240x240 px, Axial plane, Slice 99 of 155, Image width 240 mm, 1.00 mm slice spacing, Brain
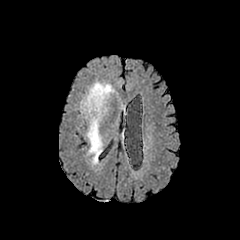
FLAIR magnetic resonance.
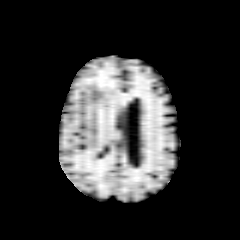
T1-weighted MR.
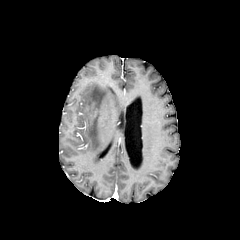
Post-contrast T1-weighted MR image of the same slice.
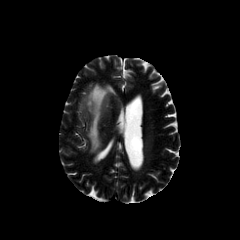
T2-weighted MRI of the same slice.
* peritumoral edema: [80, 82, 115, 163]